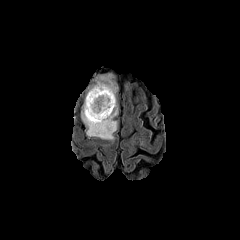
FLAIR magnetic resonance.
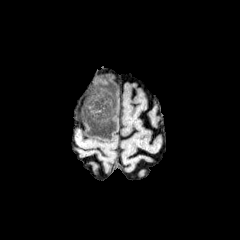
Same slice, T1-weighted MRI.
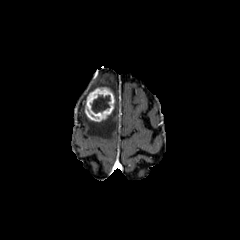
Post-contrast T1-weighted MRI of the same slice.
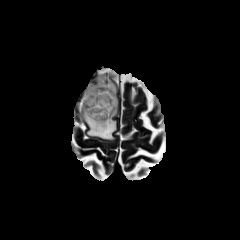
T2-weighted magnetic resonance.
necrotic tumor core: bounding box region(91, 95, 110, 113)
enhancing tumor: bounding box region(85, 87, 114, 121)
peritumoral edema: bounding box region(81, 74, 117, 140)